Image covers 240 mm x 240 mm; Slice 37 of 155
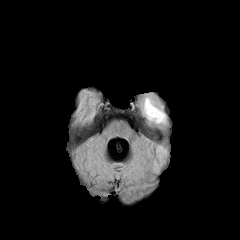
FLAIR MR.
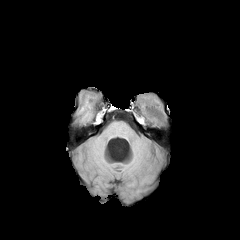
T1-weighted MR of the same slice.
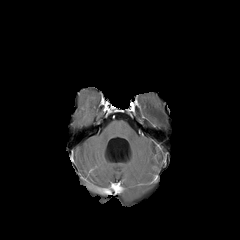
Same slice, post-contrast T1-weighted MRI.
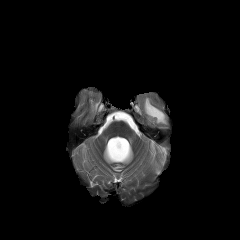
T2-weighted MR image of the same slice.
The peritumoral edema is at box=[143, 97, 166, 123].